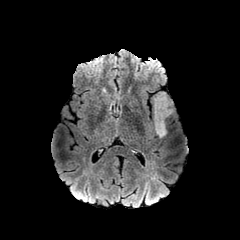
FLAIR magnetic resonance.
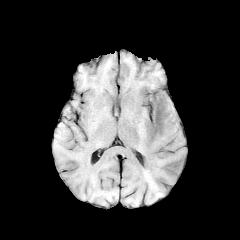
T1-weighted MR image.
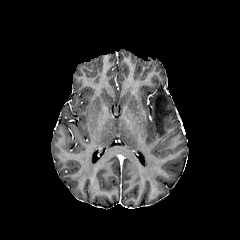
Post-contrast T1-weighted MR of the same slice.
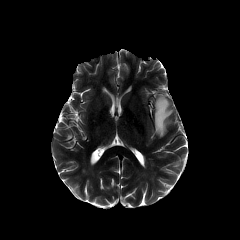
T2-weighted MRI.
240x240, Axial slice
The peritumoral edema appears at rect(154, 92, 172, 137).